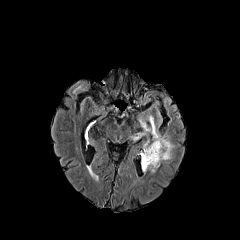
FLAIR MRI.
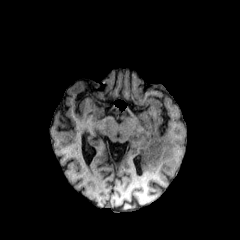
T1-weighted MR image of the same slice.
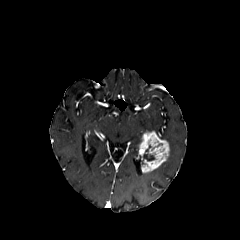
Post-contrast T1-weighted magnetic resonance of the same slice.
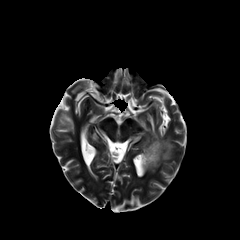
T2-weighted MR image.
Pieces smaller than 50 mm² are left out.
The largest necrotic tumor core region is bounded by bbox=[143, 153, 154, 161]. The 2 largest peritumoral edema regions are bounded by bbox=[159, 136, 174, 159]; bbox=[130, 116, 158, 141]. The enhancing tumor is bounded by bbox=[139, 131, 169, 172].